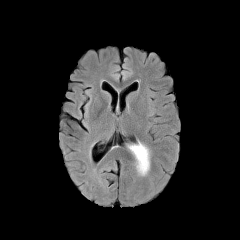
FLAIR MR image.
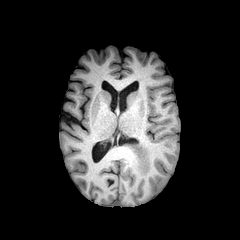
T1-weighted MR image of the same slice.
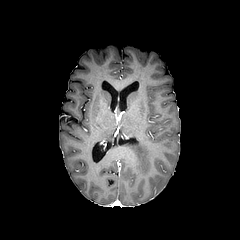
Same slice, post-contrast T1-weighted MR image.
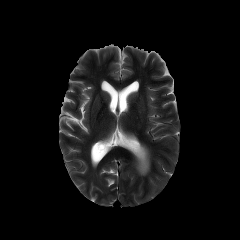
T2-weighted MR.
Head. 240x240 px. Axial slice.
Annotated regions:
- peritumoral edema: x1=128 y1=142 x2=149 y2=175